Brain; Axial plane; 240x240 px
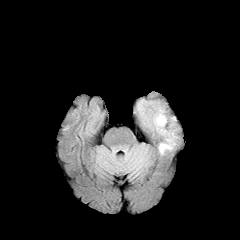
FLAIR MRI.
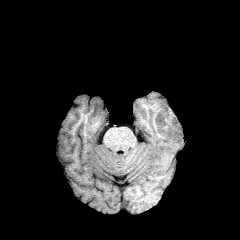
Same slice, T1-weighted MR.
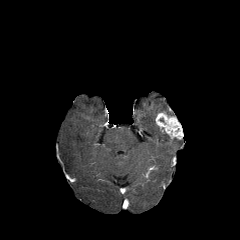
Post-contrast T1-weighted MRI of the same slice.
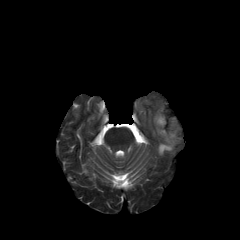
T2-weighted MRI.
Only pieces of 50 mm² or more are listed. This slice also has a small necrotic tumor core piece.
The enhancing tumor lies within 155, 111, 183, 141. The peritumoral edema is at 153, 107, 177, 154.